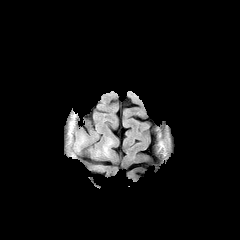
FLAIR MR image.
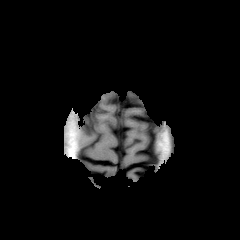
T1-weighted MRI.
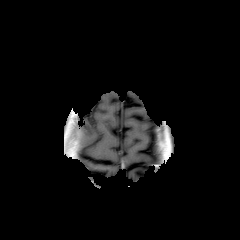
Same slice, post-contrast T1-weighted MR image.
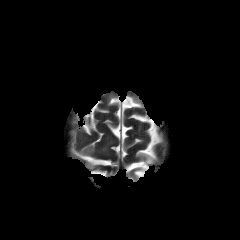
T2-weighted MRI.
Head
peritumoral edema: [103,140,112,154]